FLAIR magnetic resonance.
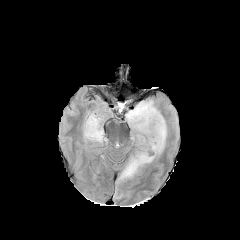
T1-weighted magnetic resonance.
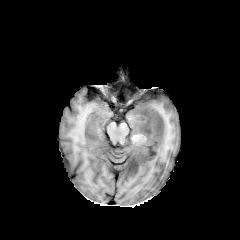
Post-contrast T1-weighted magnetic resonance.
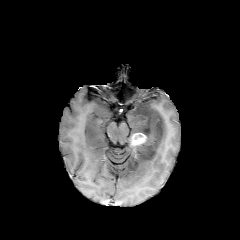
T2-weighted MR.
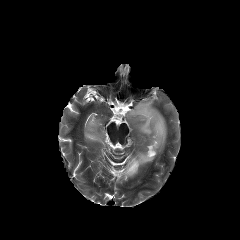
Head
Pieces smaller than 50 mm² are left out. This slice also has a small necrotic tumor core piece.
{"peritumoral_edema": ["<bbox>84, 114, 107, 144</bbox>", "<bbox>118, 99, 167, 181</bbox>"], "enhancing_tumor": ["<bbox>131, 133, 146, 145</bbox>"]}